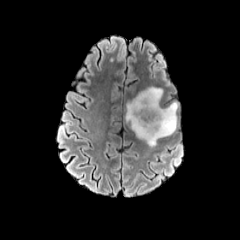
FLAIR magnetic resonance.
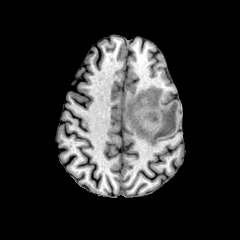
T1-weighted MR.
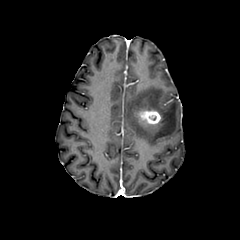
Same slice, post-contrast T1-weighted MRI.
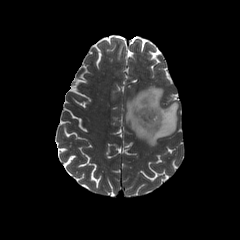
T2-weighted MR.
Brain
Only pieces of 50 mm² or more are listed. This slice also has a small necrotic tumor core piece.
Annotated regions:
- peritumoral edema: <box>125,86,178,146</box>
- enhancing tumor: <box>137,109,161,124</box>